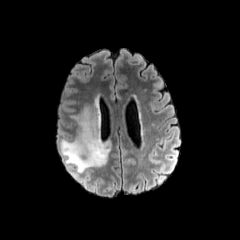
FLAIR MR.
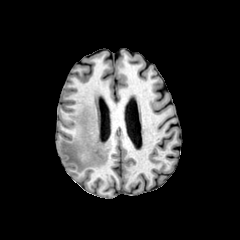
T1-weighted MR image of the same slice.
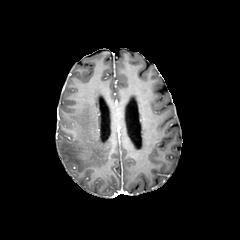
Post-contrast T1-weighted MR image of the same slice.
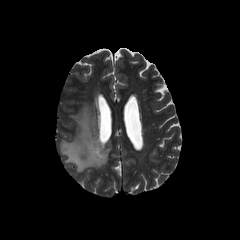
T2-weighted magnetic resonance.
240x240
The peritumoral edema is bounded by bbox(60, 98, 110, 172).